Axial plane; Brain
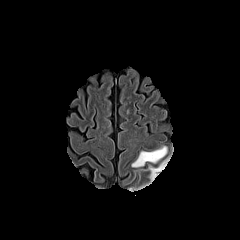
FLAIR MR.
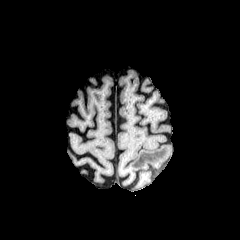
T1-weighted magnetic resonance of the same slice.
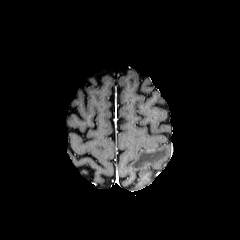
Same slice, post-contrast T1-weighted MR.
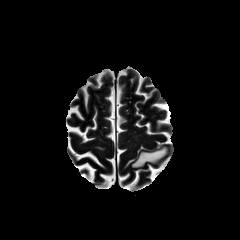
T2-weighted MR image.
<segmentation>
  <peritumoral_edema>bbox=[148, 157, 169, 181]; bbox=[131, 146, 167, 167]</peritumoral_edema>
</segmentation>